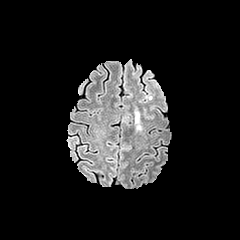
FLAIR MR image.
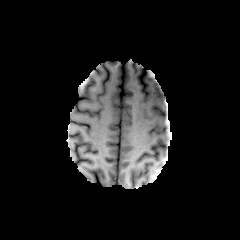
T1-weighted MR image.
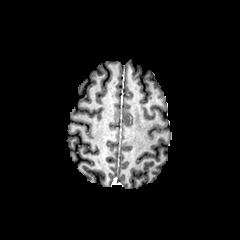
Same slice, post-contrast T1-weighted MR image.
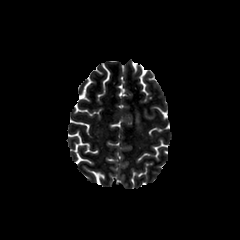
T2-weighted magnetic resonance.
240x240; Head
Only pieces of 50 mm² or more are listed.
Findings:
* peritumoral edema: bbox=[135, 111, 141, 131]